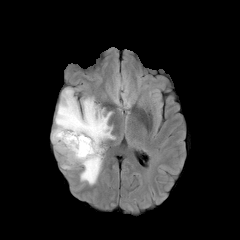
FLAIR magnetic resonance.
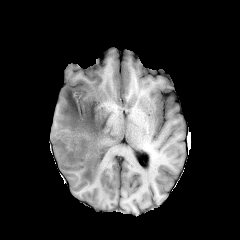
Same slice, T1-weighted magnetic resonance.
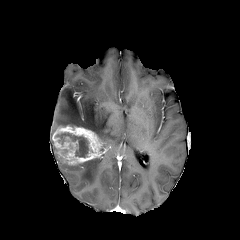
Same slice, post-contrast T1-weighted MR image.
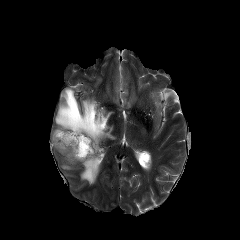
T2-weighted MR image.
Head, Image size 240x240
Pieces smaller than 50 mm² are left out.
The necrotic tumor core lies within [62, 133, 87, 157]. The 3 largest peritumoral edema regions are bounded by [60, 158, 77, 169], [78, 158, 102, 184], [52, 88, 115, 142]. The enhancing tumor is bounded by [52, 125, 102, 165].